FLAIR MR.
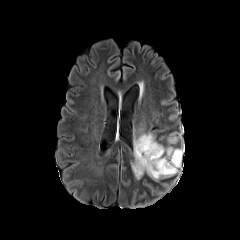
T1-weighted MR image.
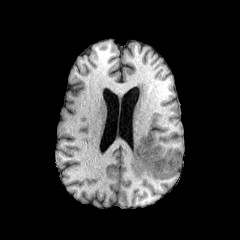
Post-contrast T1-weighted MR.
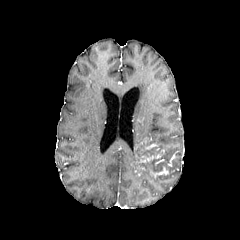
T2-weighted magnetic resonance.
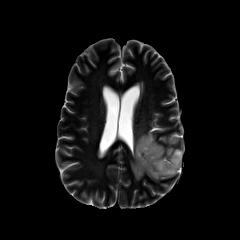
240x240 px; Brain
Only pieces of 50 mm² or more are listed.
<segmentation>
  <enhancing_tumor>(left=144, top=143, right=158, bottom=149), (left=136, top=137, right=152, bottom=148), (left=136, top=149, right=164, bottom=162), (left=148, top=166, right=169, bottom=177)</enhancing_tumor>
  <peritumoral_edema>(left=134, top=132, right=156, bottom=151), (left=131, top=143, right=180, bottom=180)</peritumoral_edema>
  <necrotic_tumor_core>(left=135, top=140, right=161, bottom=160), (left=136, top=152, right=178, bottom=172)</necrotic_tumor_core>
</segmentation>